FLAIR MR.
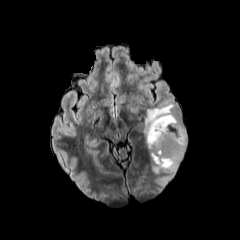
T1-weighted MRI.
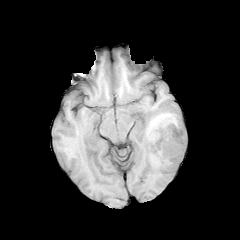
Post-contrast T1-weighted magnetic resonance.
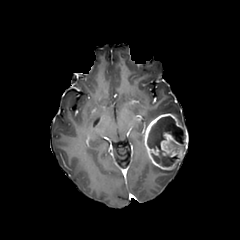
T2-weighted magnetic resonance.
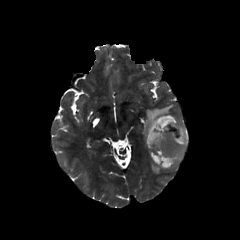
Head
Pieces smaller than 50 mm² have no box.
Findings:
* peritumoral edema: [144, 103, 181, 128], [152, 161, 180, 173]
* necrotic tumor core: [147, 116, 185, 166]
* enhancing tumor: [143, 113, 188, 170]